FLAIR MR image.
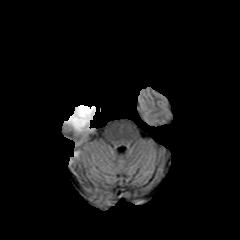
T1-weighted MR.
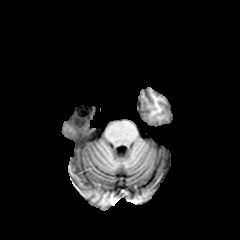
Post-contrast T1-weighted MR image.
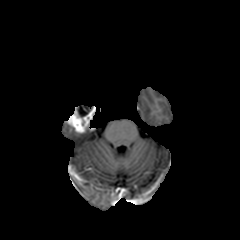
T2-weighted MR.
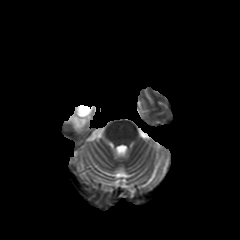
240x240.
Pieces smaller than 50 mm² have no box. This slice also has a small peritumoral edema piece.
necrotic tumor core: bbox=[77, 105, 92, 116] | enhancing tumor: bbox=[66, 106, 95, 132]